FLAIR magnetic resonance.
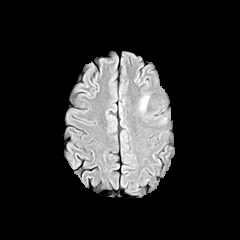
T1-weighted MRI.
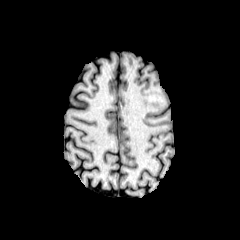
Post-contrast T1-weighted MR image.
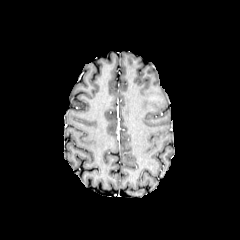
T2-weighted MR.
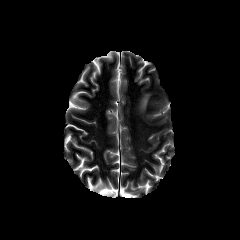
peritumoral edema: bbox=[140, 96, 148, 110]